FLAIR MR image.
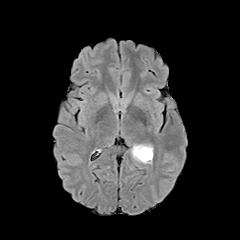
T1-weighted magnetic resonance.
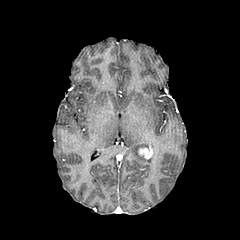
Post-contrast T1-weighted MR image.
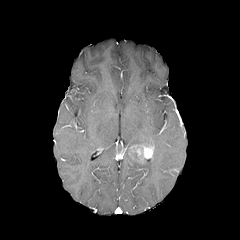
T2-weighted MRI.
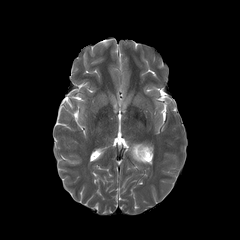
240x240, Axial view, Brain
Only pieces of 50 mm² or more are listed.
Segmented structures:
• peritumoral edema: (130,151,152,163)
• enhancing tumor: (131,145,153,162)